Head
FLAIR MRI.
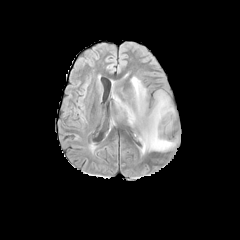
T1-weighted MR image.
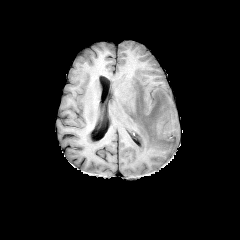
Post-contrast T1-weighted MR image.
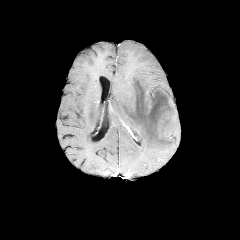
T2-weighted MR.
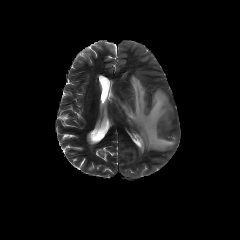
peritumoral edema: rect(113, 76, 175, 154)